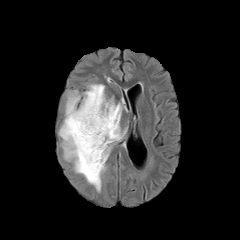
FLAIR MRI.
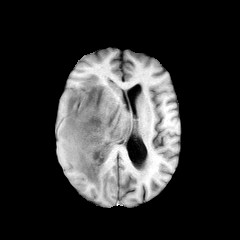
T1-weighted magnetic resonance.
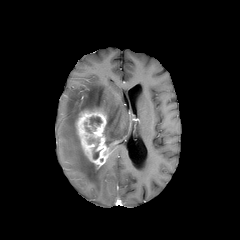
Post-contrast T1-weighted MRI.
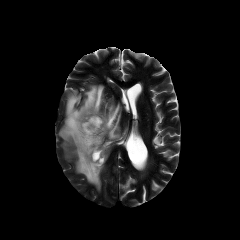
T2-weighted MR image.
Axial view
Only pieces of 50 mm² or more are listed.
enhancing tumor: [75, 108, 109, 168] | peritumoral edema: [59, 84, 126, 191] | necrotic tumor core: [90, 117, 101, 125]